FLAIR MRI.
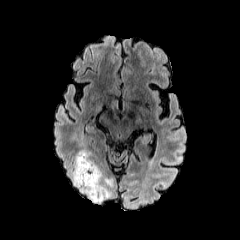
T1-weighted MR.
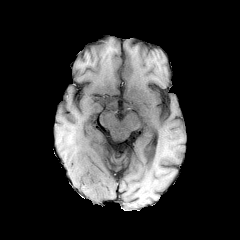
Post-contrast T1-weighted MRI.
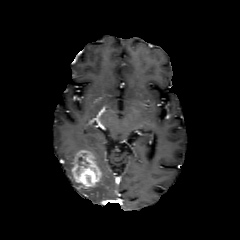
T2-weighted MR.
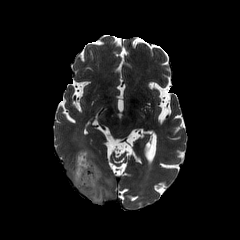
Brain
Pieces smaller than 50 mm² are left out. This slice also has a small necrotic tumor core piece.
enhancing tumor: bounding box 72, 150, 102, 188
peritumoral edema: bounding box 69, 164, 78, 187; 79, 181, 109, 204